FLAIR MR.
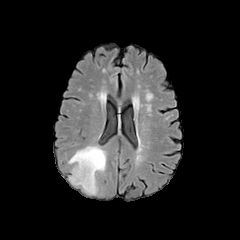
T1-weighted MR.
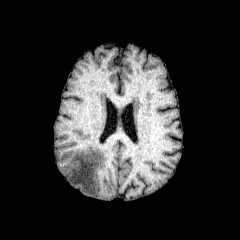
Post-contrast T1-weighted MRI.
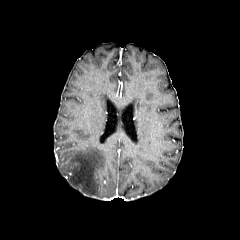
T2-weighted magnetic resonance.
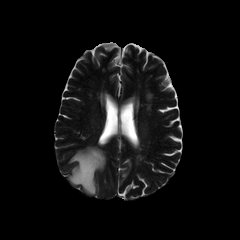
Brain
The peritumoral edema is at [68, 146, 105, 194].